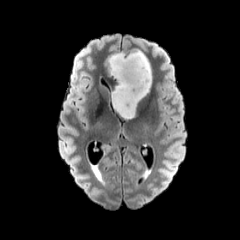
FLAIR MR image.
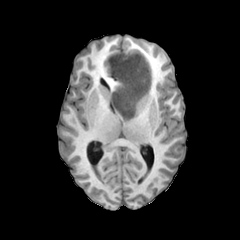
T1-weighted magnetic resonance.
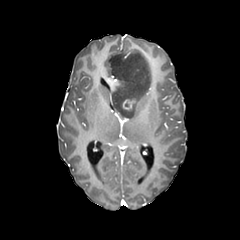
Post-contrast T1-weighted MR.
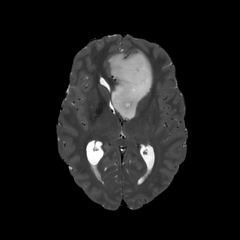
Same slice, T2-weighted MR image.
Axial view. Head.
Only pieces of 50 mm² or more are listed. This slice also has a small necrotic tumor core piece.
The enhancing tumor is located at 122:99:135:109. The peritumoral edema lies within 108:49:151:119.